Image width 240 mm, Axial slice, Head, Slice 114/155, 240x240
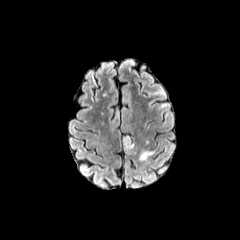
FLAIR MR image.
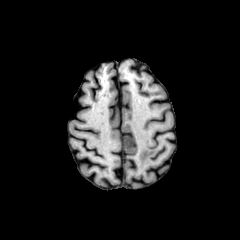
Same slice, T1-weighted MR.
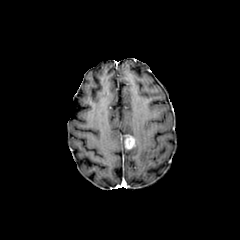
Post-contrast T1-weighted MR.
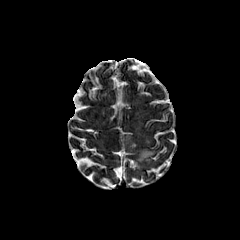
Same slice, T2-weighted magnetic resonance.
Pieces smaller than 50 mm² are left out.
<segmentation>
  <peritumoral_edema>[139,150,155,163]</peritumoral_edema>
  <enhancing_tumor>[124,135,134,149]</enhancing_tumor>
</segmentation>